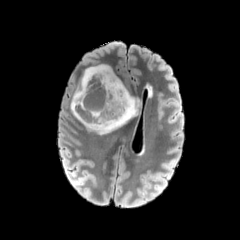
FLAIR MR image.
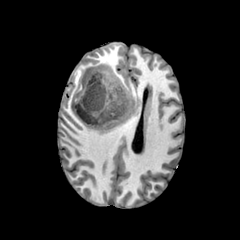
T1-weighted magnetic resonance of the same slice.
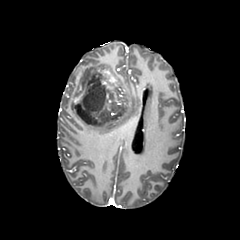
Post-contrast T1-weighted MRI.
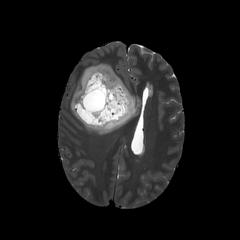
Same slice, T2-weighted MRI.
Image size 240x240; Axial view; Head
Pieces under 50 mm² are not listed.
The largest enhancing tumor region is at x1=73, y1=70, x2=128, y2=119. The necrotic tumor core lies within x1=74, y1=74, x2=123, y2=125. The peritumoral edema appears at x1=70, y1=64, x2=139, y2=134.